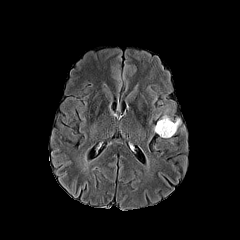
FLAIR MR.
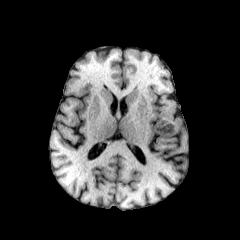
T1-weighted MRI of the same slice.
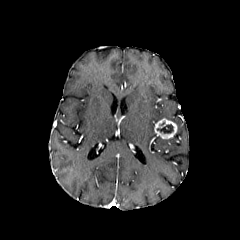
Post-contrast T1-weighted MR of the same slice.
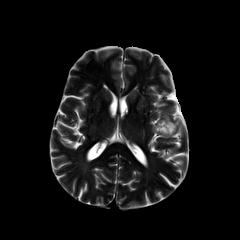
T2-weighted MR.
240x240 px. Axial slice.
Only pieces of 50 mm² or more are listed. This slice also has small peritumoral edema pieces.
The enhancing tumor is bounded by [154,118,177,138]. The largest necrotic tumor core region lies within [157,124,173,133].